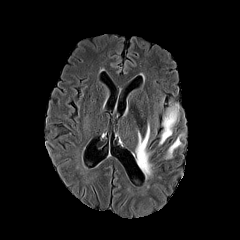
FLAIR MRI.
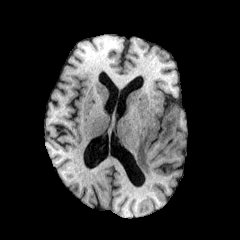
T1-weighted MR of the same slice.
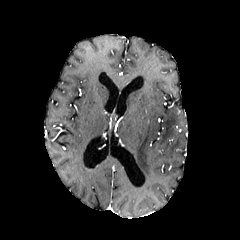
Post-contrast T1-weighted MRI.
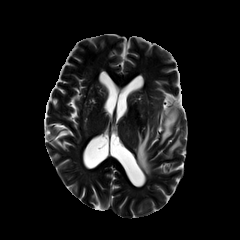
Same slice, T2-weighted MR.
240x240; Brain
peritumoral edema at (left=135, top=124, right=151, bottom=178), (left=166, top=135, right=181, bottom=158), (left=159, top=105, right=178, bottom=144)